Head
FLAIR MR.
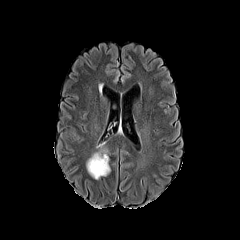
T1-weighted MRI.
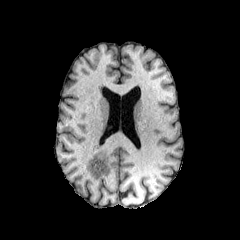
Post-contrast T1-weighted MRI.
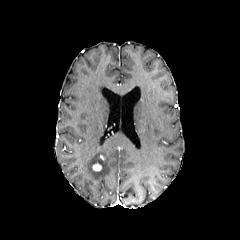
T2-weighted MR image.
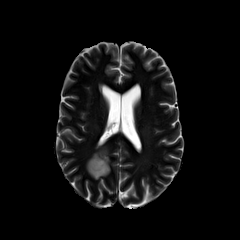
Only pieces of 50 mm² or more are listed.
* enhancing tumor: [92,163,101,171]
* peritumoral edema: [86,143,110,179]